FLAIR magnetic resonance.
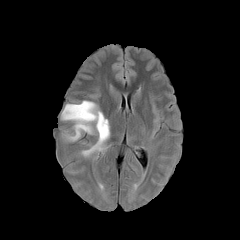
T1-weighted MR image.
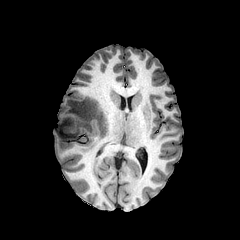
Post-contrast T1-weighted MR.
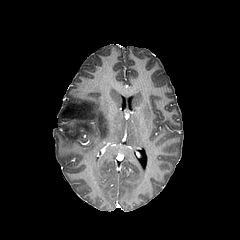
T2-weighted magnetic resonance.
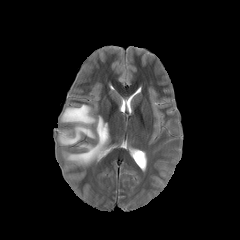
Axial slice
The peritumoral edema lies within 61, 101, 109, 159.